240x240 px | Slice index 64
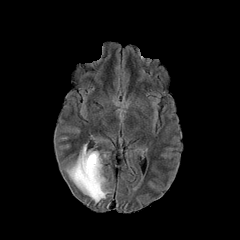
FLAIR magnetic resonance.
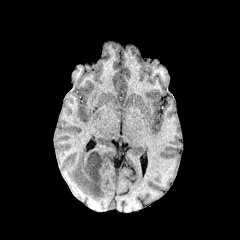
T1-weighted MR of the same slice.
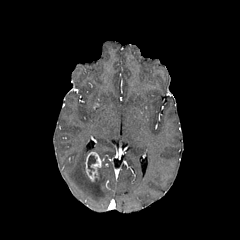
Same slice, post-contrast T1-weighted magnetic resonance.
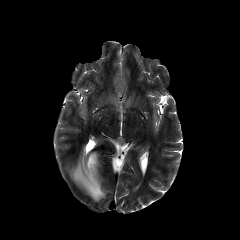
Same slice, T2-weighted MR image.
The enhancing tumor is bounded by <bbox>85, 152, 101, 181</bbox>. The peritumoral edema appears at <bbox>67, 145, 108, 202</bbox>. The necrotic tumor core appears at <bbox>88, 155, 96, 174</bbox>.